FLAIR MR image.
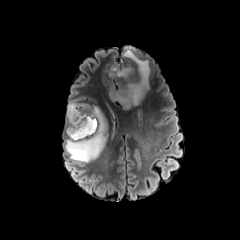
T1-weighted magnetic resonance.
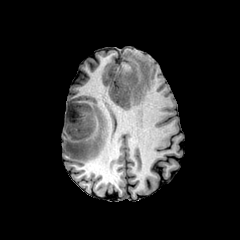
Post-contrast T1-weighted MRI.
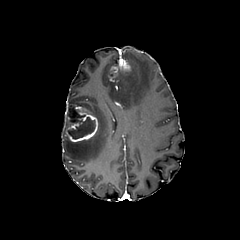
T2-weighted MRI.
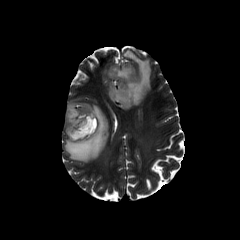
Axial view
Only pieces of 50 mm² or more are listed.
peritumoral_edema:
  - 65,101,107,162
  - 109,47,150,107
enhancing_tumor:
  - 65,105,97,141
  - 108,59,130,81
necrotic_tumor_core:
  - 67,107,95,139